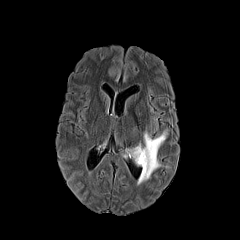
FLAIR MR.
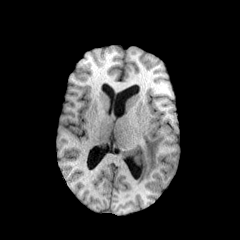
T1-weighted MRI of the same slice.
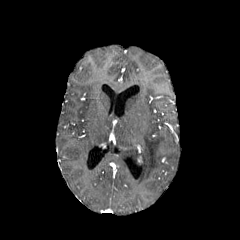
Post-contrast T1-weighted MR image.
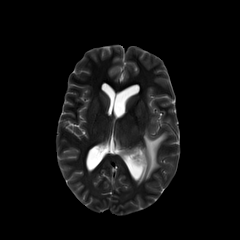
Same slice, T2-weighted MR.
Axial plane; 240x240 px; Head
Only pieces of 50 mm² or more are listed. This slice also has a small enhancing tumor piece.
peritumoral edema — box=[123, 131, 166, 184]